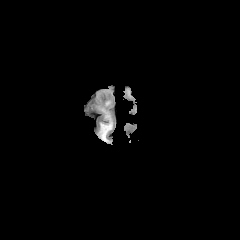
FLAIR MRI.
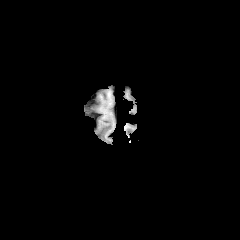
T1-weighted MR.
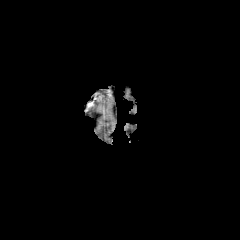
Post-contrast T1-weighted magnetic resonance.
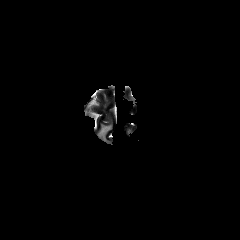
T2-weighted MRI.
- peritumoral edema: x1=96, y1=89, x2=112, y2=142